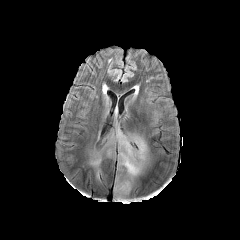
FLAIR MRI.
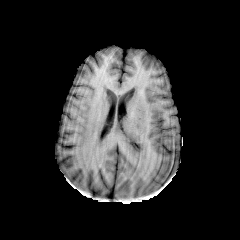
T1-weighted MR.
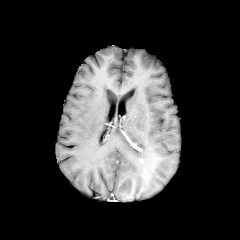
Post-contrast T1-weighted MRI of the same slice.
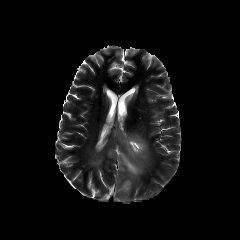
T2-weighted MRI.
Axial view; 240x240; Brain
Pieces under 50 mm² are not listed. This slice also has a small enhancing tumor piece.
The 2 largest peritumoral edema regions are bounded by bbox=[121, 181, 129, 189]; bbox=[114, 128, 147, 176].